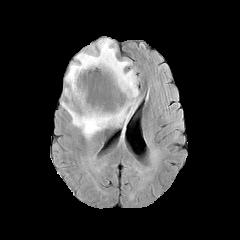
FLAIR magnetic resonance.
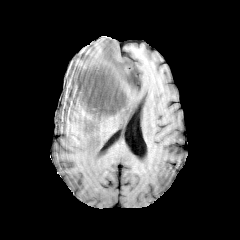
T1-weighted magnetic resonance.
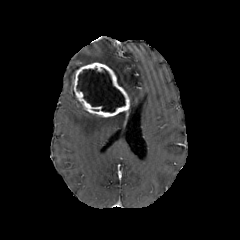
Same slice, post-contrast T1-weighted MR.
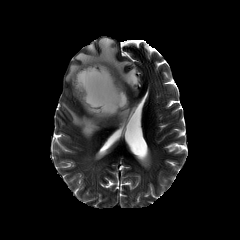
T2-weighted MRI.
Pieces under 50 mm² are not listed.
{"necrotic_tumor_core": ["77, 68, 124, 112"], "enhancing_tumor": ["72, 62, 130, 117"], "peritumoral_edema": ["62, 38, 139, 138"]}